Image size 240x240. Head. Axial view. Image covers 240 mm x 240 mm.
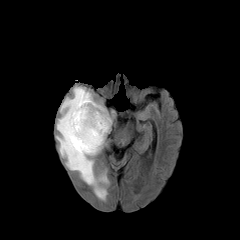
FLAIR MR image.
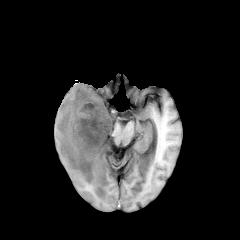
Same slice, T1-weighted magnetic resonance.
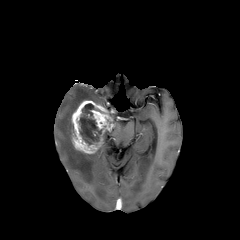
Post-contrast T1-weighted MRI of the same slice.
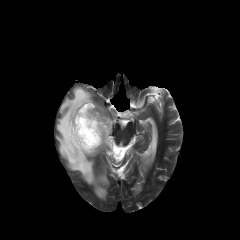
Same slice, T2-weighted MR.
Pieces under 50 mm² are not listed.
The largest enhancing tumor region is bounded by (71,100,113,154). The necrotic tumor core is located at (79,103,101,144). The largest peritumoral edema region is at (56,86,109,199).